FLAIR MR.
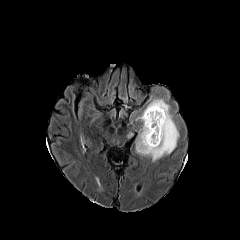
T1-weighted magnetic resonance.
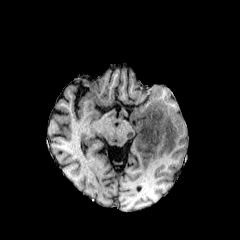
Post-contrast T1-weighted MR image.
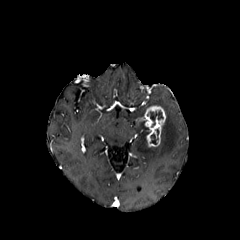
T2-weighted magnetic resonance.
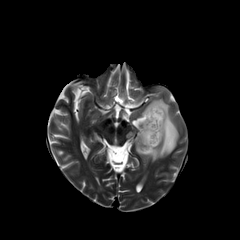
Axial plane; Brain
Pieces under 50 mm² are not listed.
Segmented structures:
• enhancing tumor: <box>142,105,165,147</box>
• peritumoral edema: <box>135,97,179,161</box>
• necrotic tumor core: <box>147,110,163,126</box>, <box>150,134,158,144</box>, <box>144,127,150,144</box>